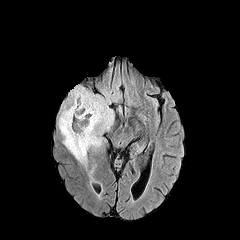
FLAIR MR.
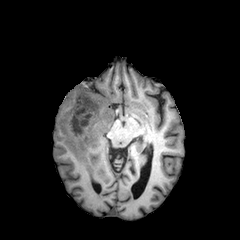
T1-weighted magnetic resonance.
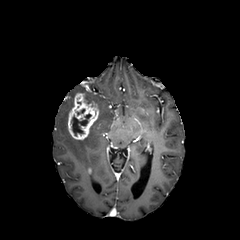
Post-contrast T1-weighted MRI.
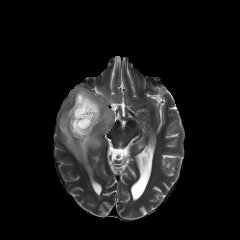
T2-weighted magnetic resonance of the same slice.
240x240, Axial view
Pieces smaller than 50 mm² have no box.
The enhancing tumor is located at 68, 93, 98, 139. The peritumoral edema is at 58, 85, 113, 165. The largest necrotic tumor core region lies within 71, 114, 91, 135.